FLAIR MR image.
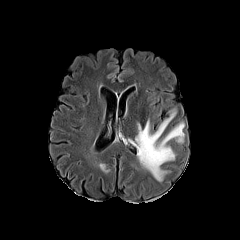
T1-weighted MR image.
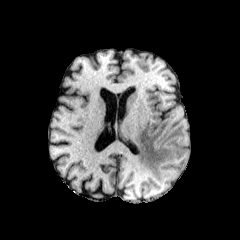
Post-contrast T1-weighted magnetic resonance.
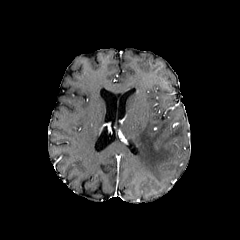
T2-weighted MR image.
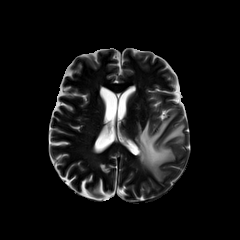
Axial plane.
The peritumoral edema appears at 127,108,184,182.